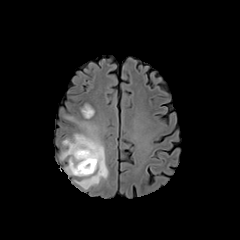
FLAIR MR image.
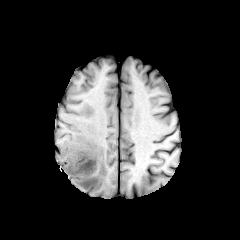
Same slice, T1-weighted magnetic resonance.
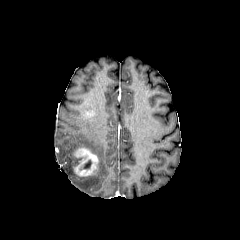
Post-contrast T1-weighted MRI of the same slice.
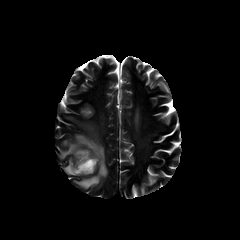
T2-weighted magnetic resonance of the same slice.
Brain
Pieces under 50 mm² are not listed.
{
  "necrotic_tumor_core": [
    "left=83, top=160, right=91, bottom=168"
  ],
  "peritumoral_edema": [
    "left=60, top=122, right=108, bottom=189",
    "left=81, top=104, right=94, bottom=118"
  ],
  "enhancing_tumor": [
    "left=84, top=110, right=93, bottom=117",
    "left=73, top=147, right=98, bottom=176"
  ]
}